Image width 240 mm. Slice 69/155. Axial view. Brain.
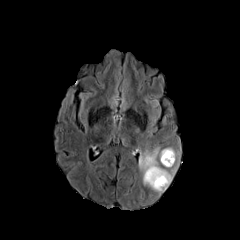
FLAIR MRI.
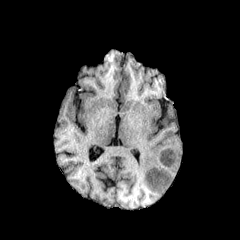
T1-weighted magnetic resonance of the same slice.
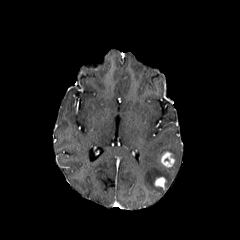
Same slice, post-contrast T1-weighted MR.
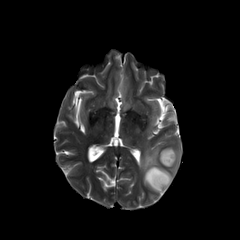
T2-weighted MR image of the same slice.
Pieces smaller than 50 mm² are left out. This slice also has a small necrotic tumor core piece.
Findings:
* peritumoral edema: 138, 146, 180, 195
* enhancing tumor: 160, 151, 174, 167; 154, 177, 166, 187